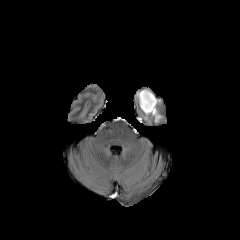
FLAIR MRI.
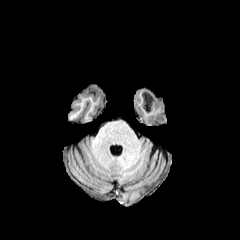
T1-weighted MR.
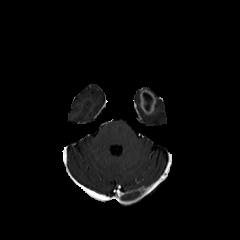
Post-contrast T1-weighted MR image.
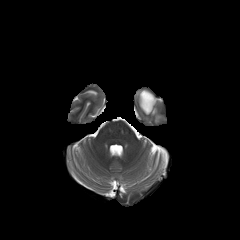
T2-weighted MR image of the same slice.
Brain.
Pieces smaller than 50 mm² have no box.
<segmentation>
  <enhancing_tumor>region(140, 89, 156, 114)</enhancing_tumor>
  <necrotic_tumor_core>region(143, 92, 152, 110)</necrotic_tumor_core>
  <peritumoral_edema>region(139, 99, 162, 122)</peritumoral_edema>
</segmentation>